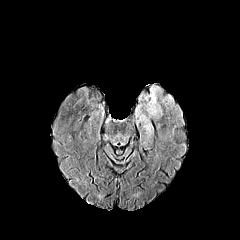
FLAIR MRI.
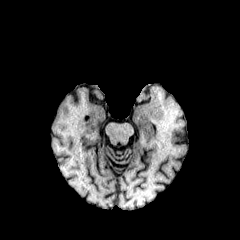
T1-weighted MR of the same slice.
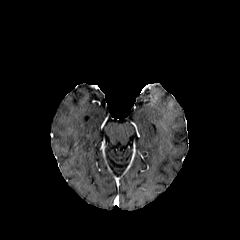
Post-contrast T1-weighted magnetic resonance.
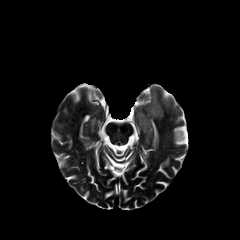
T2-weighted MR.
Axial slice; 240x240; Head
peritumoral edema = box(147, 88, 161, 115)